Brain
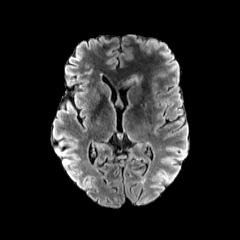
FLAIR MR image.
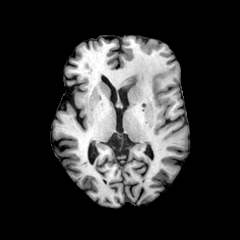
T1-weighted MR image.
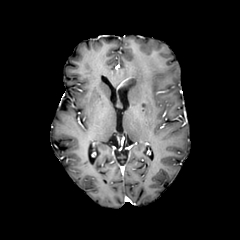
Post-contrast T1-weighted magnetic resonance.
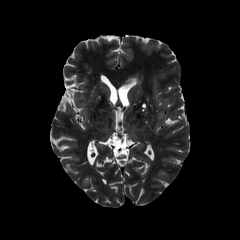
T2-weighted MR of the same slice.
peritumoral edema: [129, 73, 142, 84]